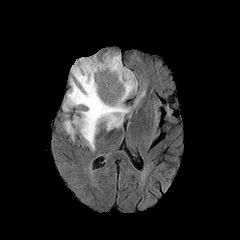
FLAIR magnetic resonance.
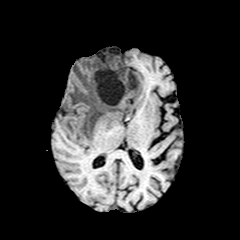
Same slice, T1-weighted MRI.
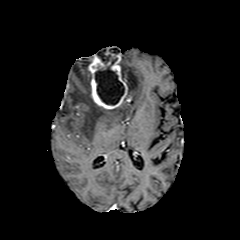
Post-contrast T1-weighted MR of the same slice.
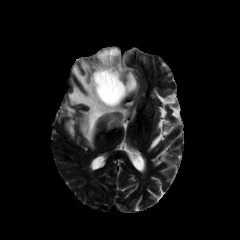
T2-weighted MR.
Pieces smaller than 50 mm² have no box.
enhancing tumor: x1=88, y1=47, x2=127, y2=109
necrotic tumor core: x1=109, y1=48, x2=119, y2=54; x1=95, y1=49, x2=124, y2=105
peritumoral edema: x1=63, y1=58, x2=130, y2=149; x1=120, y1=61, x2=137, y2=98